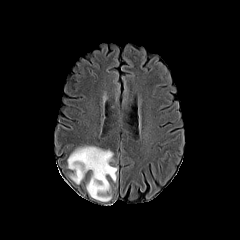
FLAIR magnetic resonance.
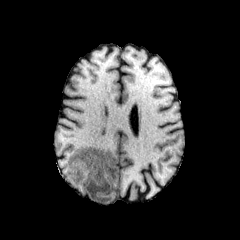
Same slice, T1-weighted MRI.
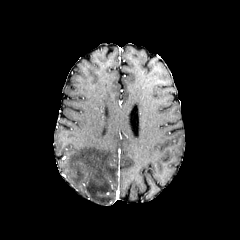
Same slice, post-contrast T1-weighted MR.
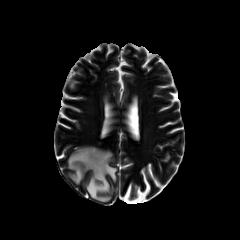
T2-weighted MR image of the same slice.
Brain
Segmented structures:
* peritumoral edema: box=[67, 146, 118, 201]